FLAIR magnetic resonance.
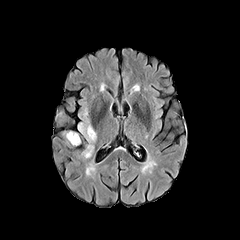
T1-weighted MR image.
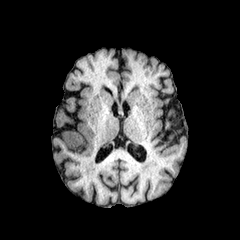
Post-contrast T1-weighted MRI.
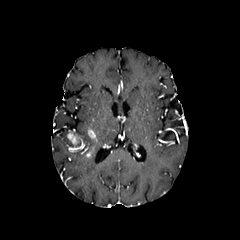
T2-weighted MRI.
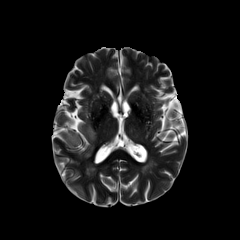
Brain | Image size 240x240 | Axial plane
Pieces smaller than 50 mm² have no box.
The 2 largest enhancing tumor regions appear at (left=67, top=132, right=79, bottom=144), (left=87, top=128, right=95, bottom=139). The 2 largest peritumoral edema regions are located at (left=79, top=121, right=95, bottom=142), (left=83, top=144, right=93, bottom=158).